FLAIR MRI.
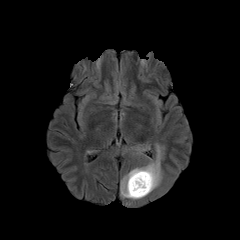
T1-weighted magnetic resonance.
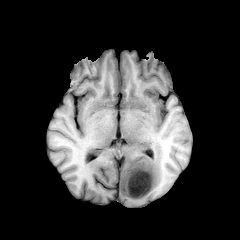
Post-contrast T1-weighted magnetic resonance.
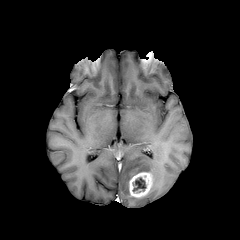
T2-weighted MR image.
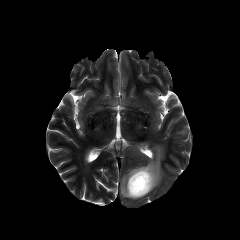
240x240, Head
<segmentation>
  <necrotic_tumor_core>133:177:146:191</necrotic_tumor_core>
  <peritumoral_edema>120:144:163:200</peritumoral_edema>
  <enhancing_tumor>129:171:153:197</enhancing_tumor>
</segmentation>